Head
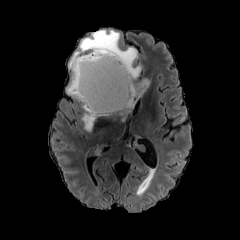
FLAIR MR.
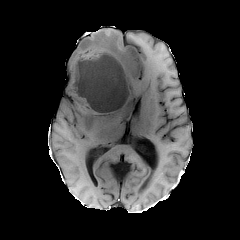
T1-weighted MR image.
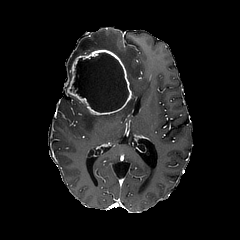
Post-contrast T1-weighted magnetic resonance.
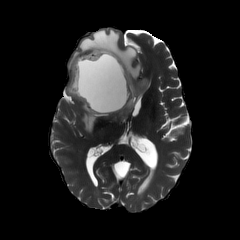
Same slice, T2-weighted MR image.
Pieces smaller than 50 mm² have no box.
The necrotic tumor core is at (left=73, top=52, right=128, bottom=112). The 2 largest peritumoral edema regions are located at (left=81, top=104, right=109, bottom=131), (left=68, top=29, right=148, bottom=114). The enhancing tumor lies within (left=67, top=49, right=133, bottom=115).